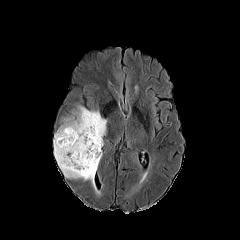
FLAIR magnetic resonance.
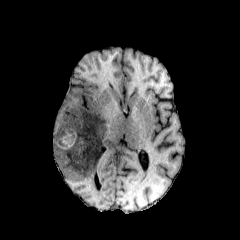
T1-weighted MR image.
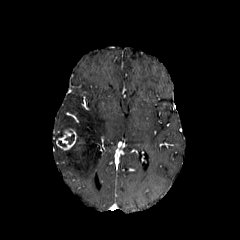
Post-contrast T1-weighted MR image of the same slice.
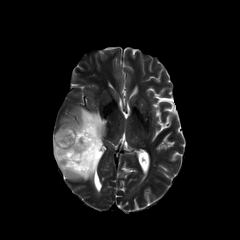
T2-weighted MR.
240x240 | Axial view
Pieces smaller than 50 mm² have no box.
peritumoral edema — bbox(53, 106, 106, 188)
enhancing tumor — bbox(56, 128, 77, 150)
necrotic tumor core — bbox(64, 134, 74, 144); bbox(75, 132, 86, 144)